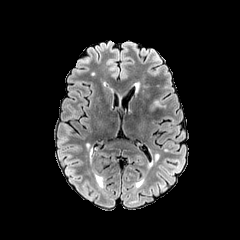
FLAIR MR.
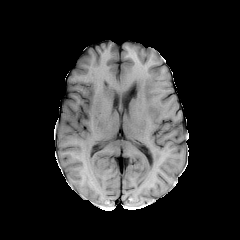
T1-weighted MR of the same slice.
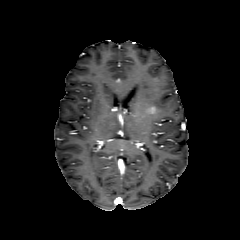
Post-contrast T1-weighted magnetic resonance.
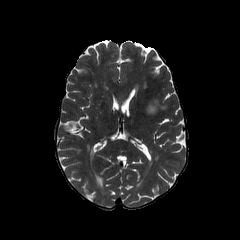
T2-weighted MR.
240x240, Head
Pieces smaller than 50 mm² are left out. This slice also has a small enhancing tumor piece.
The peritumoral edema is located at (147, 100, 162, 112).